Head
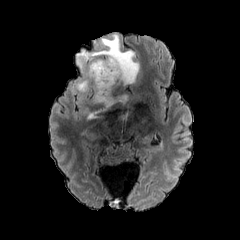
FLAIR MRI.
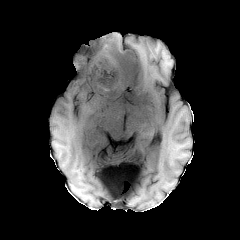
T1-weighted magnetic resonance.
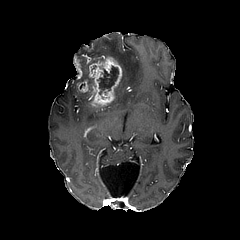
Post-contrast T1-weighted magnetic resonance.
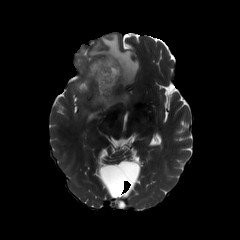
T2-weighted MR.
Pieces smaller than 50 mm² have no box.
peritumoral edema: {"x1": 76, "y1": 34, "x2": 138, "y2": 84} | necrotic tumor core: {"x1": 97, "y1": 66, "x2": 118, "y2": 90} | enhancing tumor: {"x1": 75, "y1": 55, "x2": 123, "y2": 110}